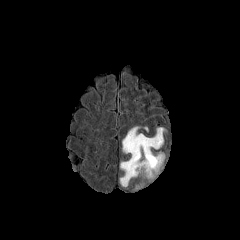
FLAIR MRI.
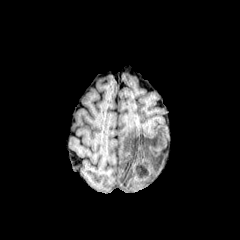
T1-weighted magnetic resonance of the same slice.
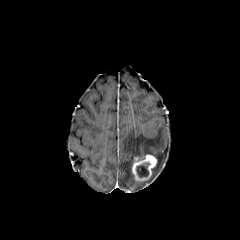
Post-contrast T1-weighted MR image of the same slice.
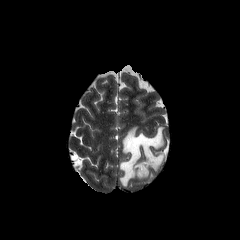
T2-weighted MR.
240x240 | Head
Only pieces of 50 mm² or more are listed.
{
  "necrotic_tumor_core": [
    "[136, 162, 149, 177]"
  ],
  "peritumoral_edema": [
    "[134, 182, 143, 189]",
    "[120, 126, 167, 187]",
    "[150, 150, 165, 179]"
  ],
  "enhancing_tumor": [
    "[132, 154, 157, 181]"
  ]
}